Brain | 240x240
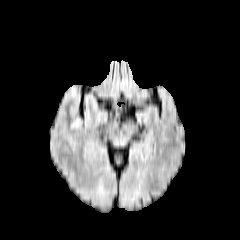
FLAIR magnetic resonance.
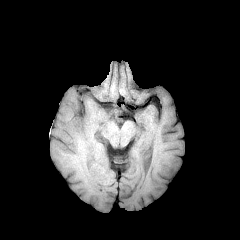
T1-weighted MRI of the same slice.
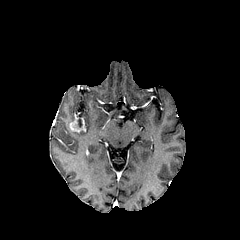
Post-contrast T1-weighted MRI of the same slice.
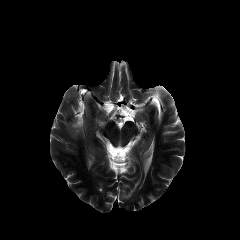
Same slice, T2-weighted magnetic resonance.
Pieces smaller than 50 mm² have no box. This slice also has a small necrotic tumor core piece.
enhancing tumor = {"x1": 68, "y1": 117, "x2": 84, "y2": 132}